FLAIR MR image.
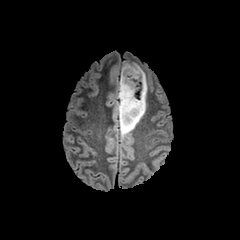
T1-weighted MR.
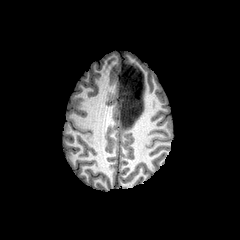
Post-contrast T1-weighted MRI.
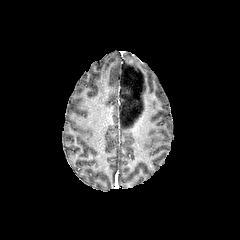
T2-weighted MR image.
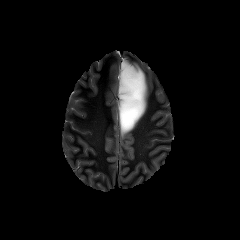
The peritumoral edema appears at region(119, 61, 147, 138).